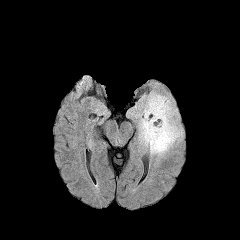
FLAIR MR image.
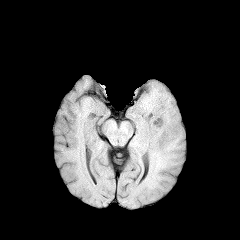
T1-weighted MR of the same slice.
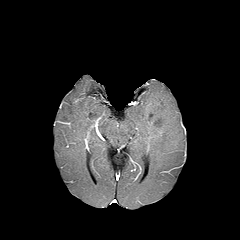
Post-contrast T1-weighted MRI.
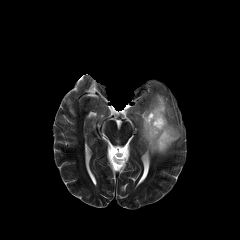
T2-weighted MR image.
Brain.
{"peritumoral_edema": ["l=131, t=92, r=183, b=157"]}